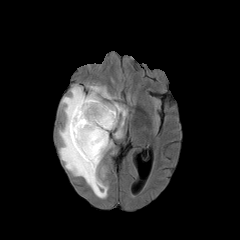
FLAIR magnetic resonance.
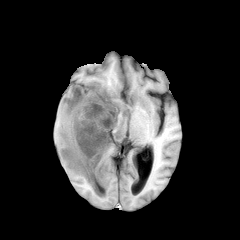
T1-weighted MR.
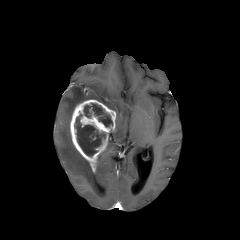
Post-contrast T1-weighted magnetic resonance.
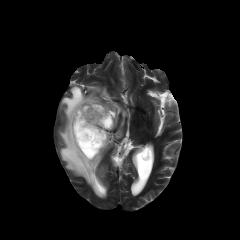
T2-weighted magnetic resonance.
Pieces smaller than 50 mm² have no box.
necrotic tumor core = 75:114:105:156, 84:103:112:126
enhancing tumor = 70:99:116:172
peritumoral edema = 59:85:127:198